240x240
FLAIR MR.
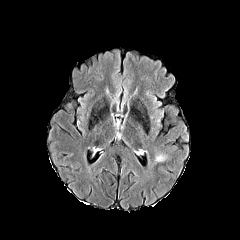
T1-weighted MR image.
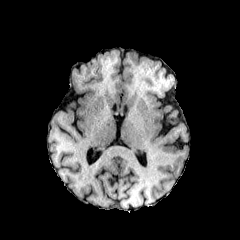
Post-contrast T1-weighted MR.
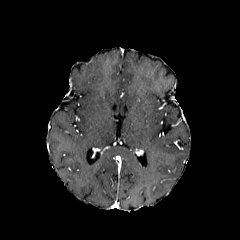
T2-weighted MRI.
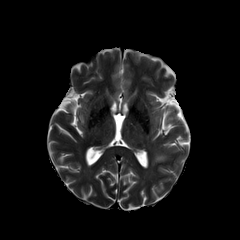
peritumoral_edema:
  - x1=155 y1=154 x2=166 y2=161